Axial view
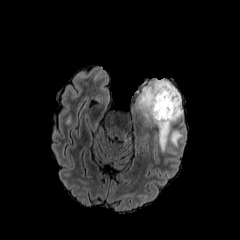
FLAIR MR image.
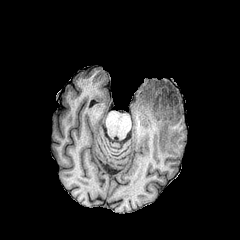
T1-weighted magnetic resonance.
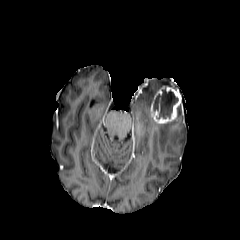
Same slice, post-contrast T1-weighted MR.
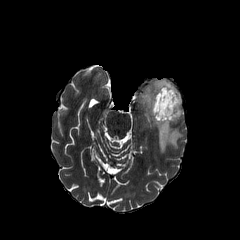
T2-weighted MR of the same slice.
The peritumoral edema is bounded by (138,79,183,152). The enhancing tumor lies within (150,86,181,124). The necrotic tumor core is bounded by (153,88,178,118).